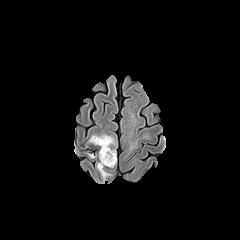
FLAIR MRI.
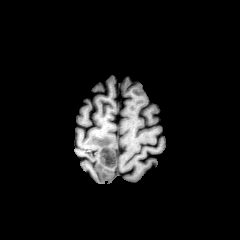
Same slice, T1-weighted MRI.
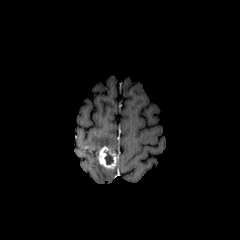
Post-contrast T1-weighted magnetic resonance of the same slice.
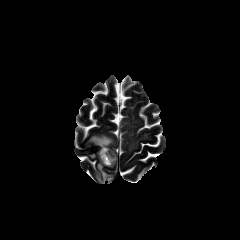
T2-weighted MR.
Brain
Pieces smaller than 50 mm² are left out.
<segmentation>
  <necrotic_tumor_core>left=105, top=151, right=113, bottom=164</necrotic_tumor_core>
  <enhancing_tumor>left=98, top=146, right=116, bottom=168</enhancing_tumor>
  <peritumoral_edema>left=97, top=162, right=111, bottom=183; left=88, top=134, right=114, bottom=147</peritumoral_edema>
</segmentation>